Axial view | Head | 240x240
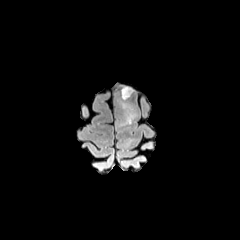
FLAIR MR image.
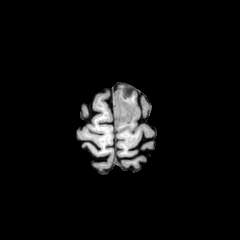
T1-weighted MR.
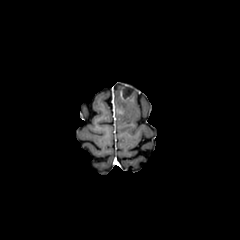
Post-contrast T1-weighted magnetic resonance.
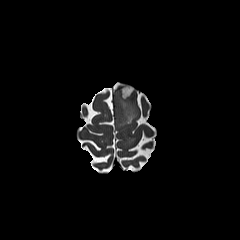
T2-weighted magnetic resonance of the same slice.
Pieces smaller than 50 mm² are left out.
peritumoral edema at left=115, top=92, right=138, bottom=126
enhancing tumor at left=119, top=84, right=133, bottom=100